Slice 103/155, Axial plane
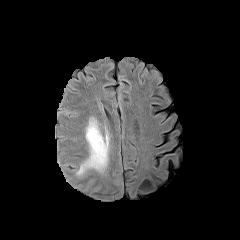
FLAIR MR.
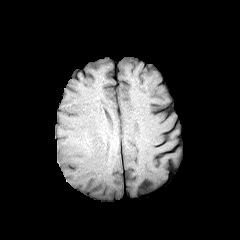
T1-weighted MR.
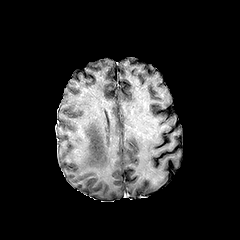
Same slice, post-contrast T1-weighted MR.
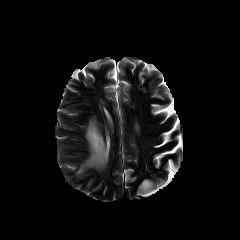
T2-weighted MRI.
peritumoral edema at (left=76, top=118, right=109, bottom=174)